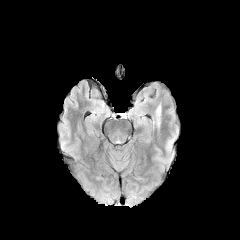
FLAIR MR image.
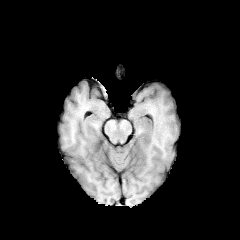
T1-weighted MR.
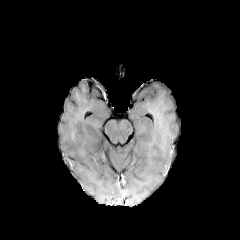
Post-contrast T1-weighted magnetic resonance.
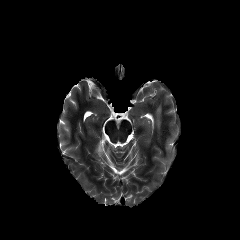
T2-weighted MRI.
240x240 px
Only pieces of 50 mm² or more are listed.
<segmentation>
  <peritumoral_edema>156,105,161,127</peritumoral_edema>
</segmentation>